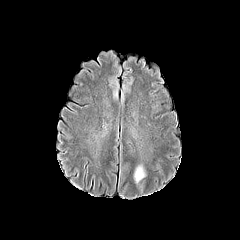
FLAIR MRI.
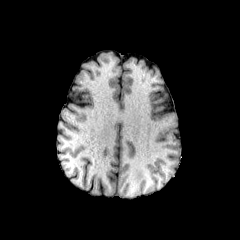
T1-weighted MR.
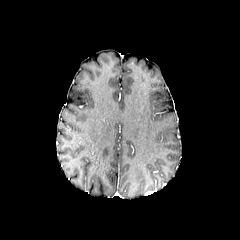
Post-contrast T1-weighted MR image.
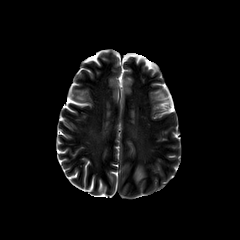
T2-weighted MR of the same slice.
Head. Axial view.
peritumoral edema: bbox=[134, 166, 144, 182]